FLAIR MRI.
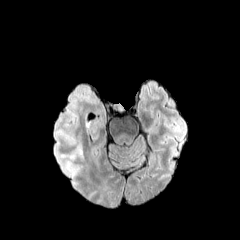
T1-weighted MR image.
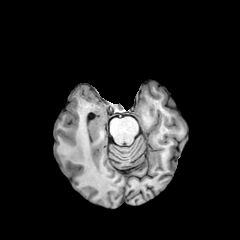
Post-contrast T1-weighted MRI.
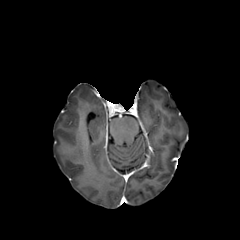
T2-weighted MR image.
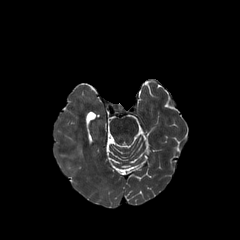
240x240
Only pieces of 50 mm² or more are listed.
Segmented structures:
- peritumoral edema: <bbox>77, 132, 83, 157</bbox>